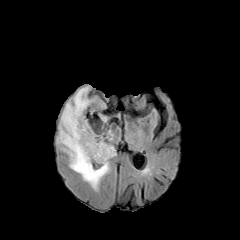
FLAIR MR.
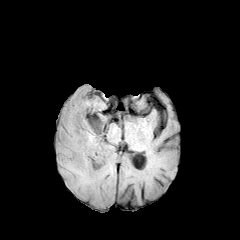
T1-weighted MR.
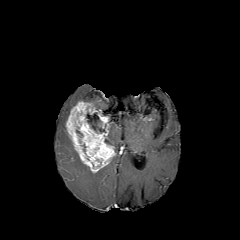
Post-contrast T1-weighted magnetic resonance of the same slice.
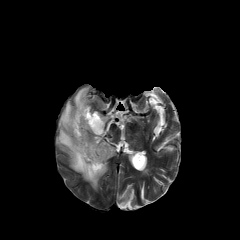
T2-weighted MR image of the same slice.
240x240 px; Axial plane
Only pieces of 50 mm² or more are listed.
enhancing tumor: region(66, 101, 115, 172) | peritumoral edema: region(56, 85, 109, 190) | necrotic tumor core: region(86, 112, 104, 132)